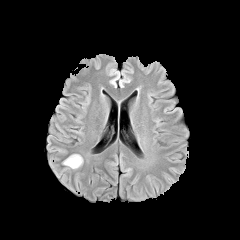
FLAIR magnetic resonance.
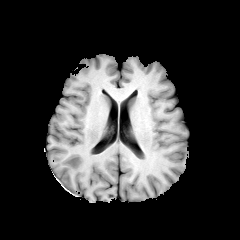
T1-weighted MRI.
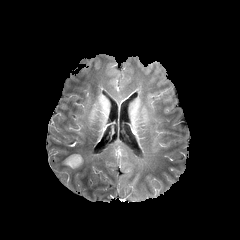
Post-contrast T1-weighted MRI of the same slice.
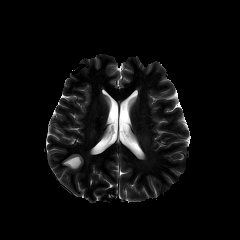
T2-weighted magnetic resonance of the same slice.
Brain. Image size 240x240.
enhancing tumor: bounding box 66:155:81:167
peritumoral edema: bounding box 62:154:83:169